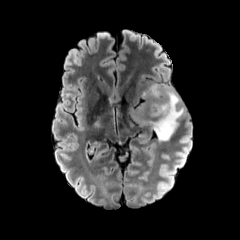
FLAIR MR.
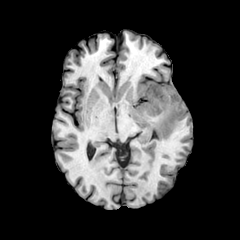
T1-weighted magnetic resonance.
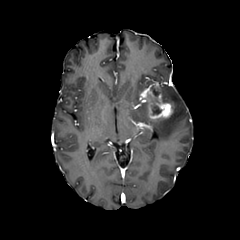
Post-contrast T1-weighted magnetic resonance.
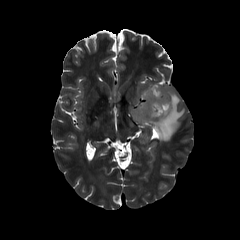
T2-weighted MR of the same slice.
Brain | Axial view
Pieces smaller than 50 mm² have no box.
2 peritumoral edema regions appear at x1=133, y1=102, x2=146, y2=119; x1=148, y1=84, x2=184, y2=140. The largest necrotic tumor core region appears at x1=151, y1=104, x2=161, y2=115. The enhancing tumor is bounded by x1=140, y1=84, x2=172, y2=118.